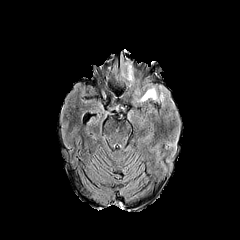
FLAIR MRI.
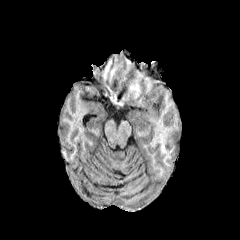
T1-weighted magnetic resonance.
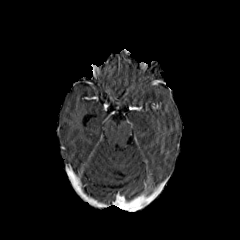
Same slice, post-contrast T1-weighted magnetic resonance.
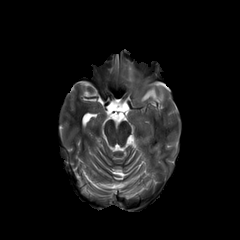
Same slice, T2-weighted MR.
Image size 240x240 | Axial slice
2 peritumoral edema regions are located at rect(126, 65, 133, 81); rect(140, 88, 163, 103).